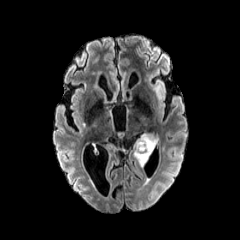
FLAIR MRI.
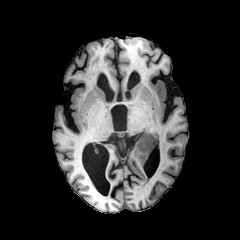
T1-weighted MR image of the same slice.
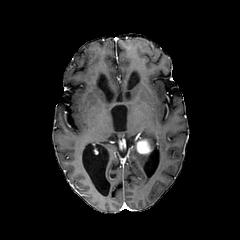
Post-contrast T1-weighted MRI.
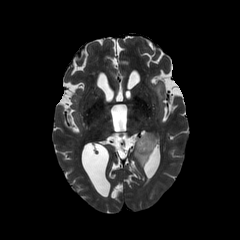
T2-weighted MR image.
Axial slice, Brain
- peritumoral edema: 134, 143, 151, 166; 136, 133, 158, 150
- enhancing tumor: 136, 138, 152, 154